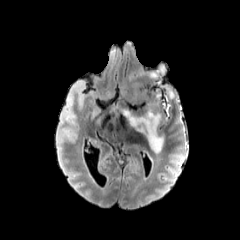
FLAIR MRI.
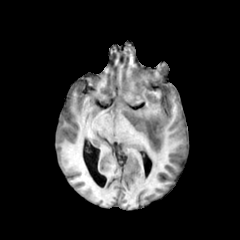
T1-weighted MRI.
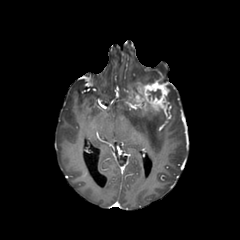
Post-contrast T1-weighted magnetic resonance of the same slice.
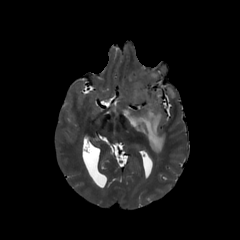
T2-weighted MRI of the same slice.
Brain | Axial slice
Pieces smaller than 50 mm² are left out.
Annotated regions:
- necrotic tumor core: bbox=[148, 89, 161, 99]
- peritumoral edema: bbox=[167, 85, 174, 101]; bbox=[123, 101, 163, 153]; bbox=[148, 72, 158, 80]
- enhancing tumor: bbox=[130, 80, 170, 110]